Brain. Slice 102 of 155.
FLAIR MR.
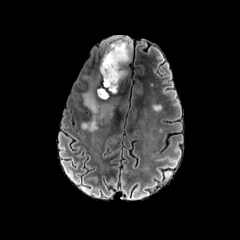
T1-weighted MRI.
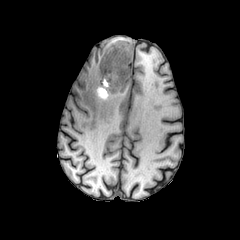
Post-contrast T1-weighted magnetic resonance.
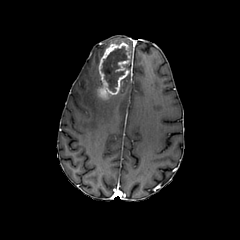
T2-weighted MR.
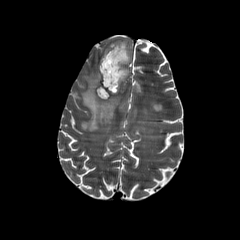
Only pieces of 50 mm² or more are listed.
Findings:
* enhancing tumor: (left=97, top=41, right=130, bottom=99)
* necrotic tumor core: (left=101, top=46, right=127, bottom=91)
* peritumoral edema: (left=81, top=83, right=120, bottom=131), (left=113, top=38, right=132, bottom=59)